FLAIR MRI.
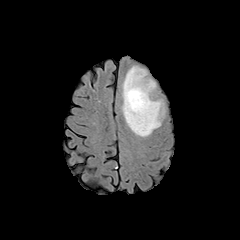
T1-weighted MR.
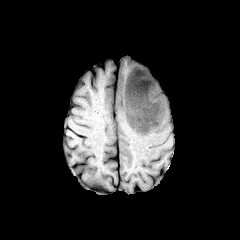
Post-contrast T1-weighted magnetic resonance.
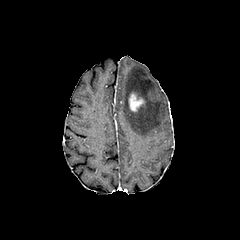
T2-weighted MR image.
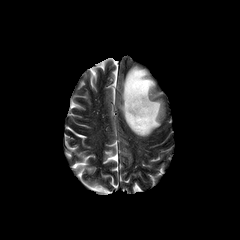
Brain
enhancing tumor — 129:93:144:111
peritumoral edema — 122:66:164:136